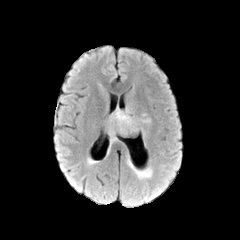
FLAIR MRI.
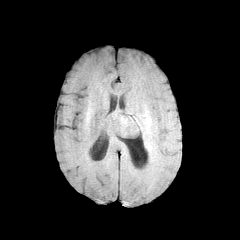
T1-weighted magnetic resonance.
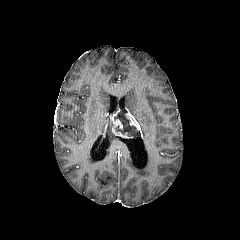
Same slice, post-contrast T1-weighted MRI.
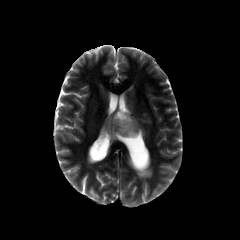
Same slice, T2-weighted MR.
Head | 240x240 px
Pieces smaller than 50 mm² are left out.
Segmented structures:
• enhancing tumor: rect(126, 113, 138, 129); rect(110, 109, 131, 137)
• peritumoral edema: rect(143, 117, 152, 124); rect(108, 117, 116, 141)
• necrotic tumor core: rect(114, 109, 137, 136)